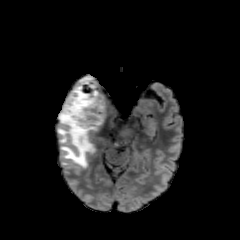
FLAIR magnetic resonance.
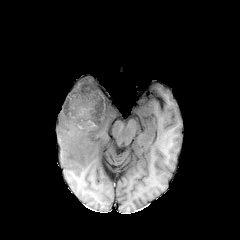
T1-weighted MRI.
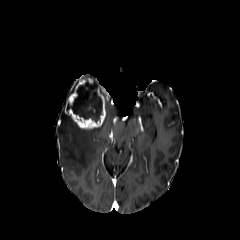
Same slice, post-contrast T1-weighted magnetic resonance.
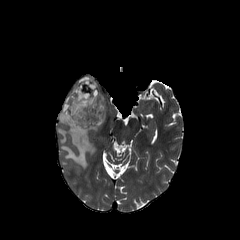
T2-weighted MR image.
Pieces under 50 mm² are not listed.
The largest peritumoral edema region lies within x1=58 y1=84 x2=117 y2=168. The enhancing tumor is bounded by x1=64 y1=76 x2=106 y2=129. The necrotic tumor core appears at x1=67 y1=81 x2=102 y2=121.